FLAIR MR.
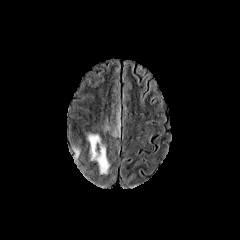
T1-weighted magnetic resonance.
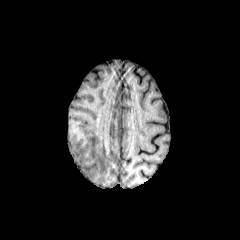
Post-contrast T1-weighted MR.
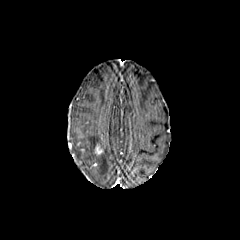
T2-weighted MR.
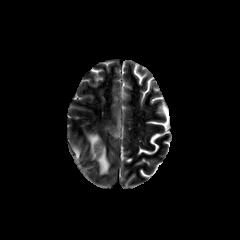
240x240
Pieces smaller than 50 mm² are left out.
peritumoral edema: (87,133,109,174), (73,147,79,160), (113,115,120,136)
enhancing tumor: (94,144,103,155)